FLAIR MR image.
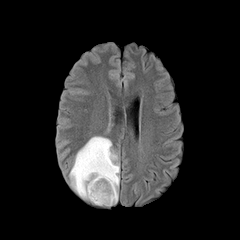
T1-weighted MRI.
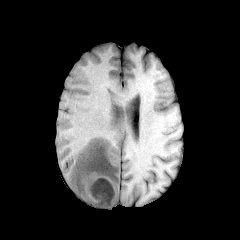
Post-contrast T1-weighted MR.
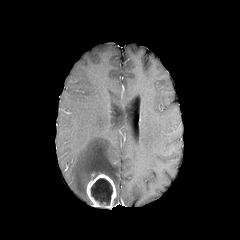
T2-weighted MR.
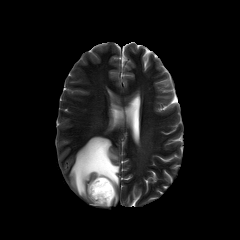
Head
* enhancing tumor: bbox(86, 174, 116, 207)
* peritumoral edema: bbox(69, 136, 119, 203)
* necrotic tumor core: bbox(91, 178, 112, 205)